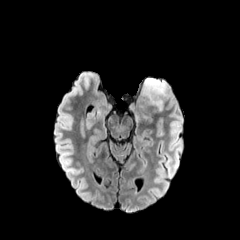
FLAIR MRI.
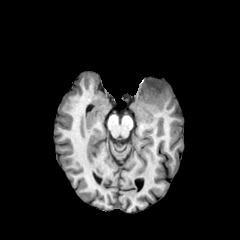
T1-weighted MRI.
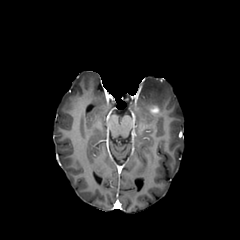
Post-contrast T1-weighted magnetic resonance.
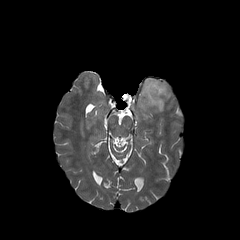
T2-weighted MRI.
Axial view
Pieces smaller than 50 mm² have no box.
enhancing tumor — l=150, t=106, r=160, b=113
peritumoral edema — l=139, t=78, r=169, b=110